Slice 132/155, Axial slice, Head
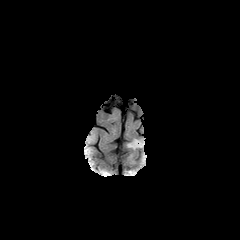
FLAIR magnetic resonance.
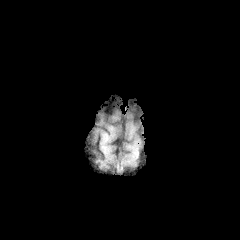
T1-weighted MR.
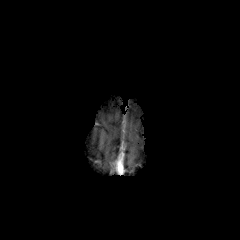
Post-contrast T1-weighted MR image of the same slice.
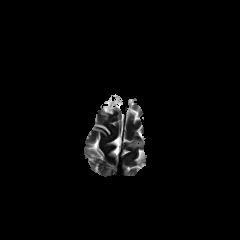
T2-weighted MR image.
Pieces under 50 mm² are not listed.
The largest peritumoral edema region lies within {"x1": 128, "y1": 140, "x2": 144, "y2": 148}.